Brain; Slice index 72; Axial view
FLAIR MRI.
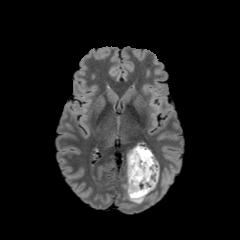
T1-weighted MRI.
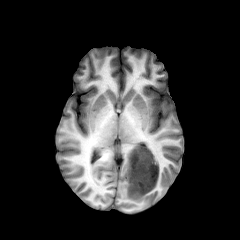
Post-contrast T1-weighted magnetic resonance.
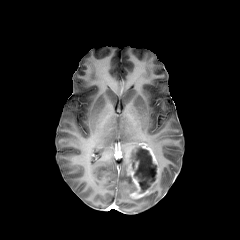
T2-weighted magnetic resonance.
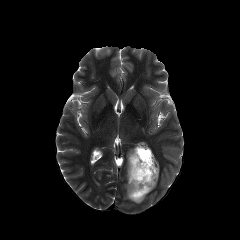
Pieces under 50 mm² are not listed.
The necrotic tumor core lies within 130 146 156 192. The largest enhancing tumor region appears at 127 144 159 198. The largest peritumoral edema region appears at 125 176 146 203.